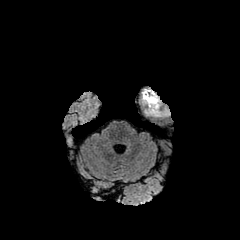
FLAIR MRI.
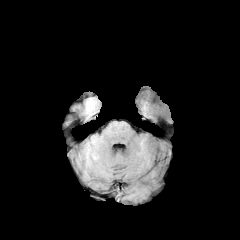
T1-weighted MR image.
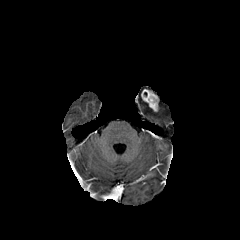
Post-contrast T1-weighted MR image.
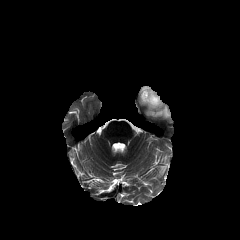
T2-weighted MR image.
Axial slice | Head
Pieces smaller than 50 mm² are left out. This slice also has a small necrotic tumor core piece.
enhancing tumor — 141 89 159 111
peritumoral edema — 140 98 170 117